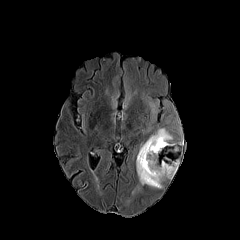
FLAIR MR image.
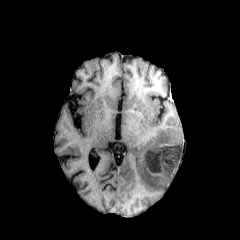
T1-weighted MR.
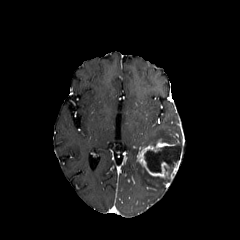
Same slice, post-contrast T1-weighted MR.
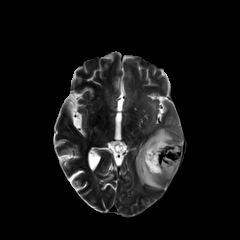
Same slice, T2-weighted magnetic resonance.
Head
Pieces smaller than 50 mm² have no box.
Segmented structures:
* enhancing tumor: l=137, t=139, r=182, b=179
* necrotic tumor core: l=144, t=145, r=181, b=172
* peritumoral edema: l=141, t=128, r=175, b=148; l=136, t=162, r=163, b=188; l=150, t=103, r=156, b=115